FLAIR MR.
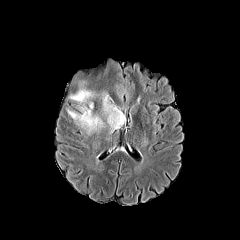
T1-weighted MR.
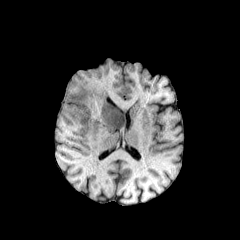
Post-contrast T1-weighted MR.
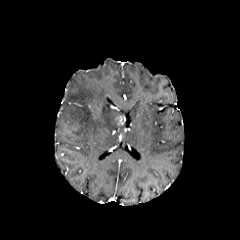
T2-weighted MR image.
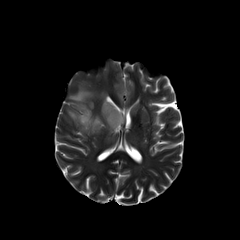
Head; Axial view
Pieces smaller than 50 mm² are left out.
enhancing_tumor:
  - {"x1": 115, "y1": 114, "x2": 125, "y2": 125}
peritumoral_edema:
  - {"x1": 69, "y1": 81, "x2": 93, "y2": 102}
  - {"x1": 102, "y1": 93, "x2": 122, "y2": 128}
  - {"x1": 68, "y1": 102, "x2": 103, "y2": 133}